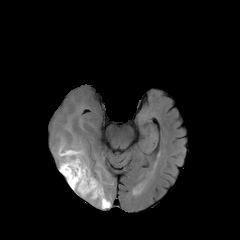
FLAIR MR.
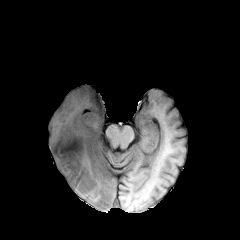
T1-weighted MR of the same slice.
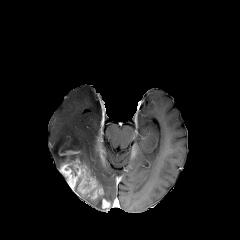
Same slice, post-contrast T1-weighted magnetic resonance.
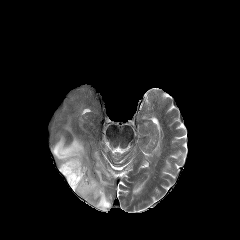
T2-weighted MR.
Axial view
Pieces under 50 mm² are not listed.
Annotated regions:
• necrotic tumor core: <box>60,145,76,152</box>
• enhancing tumor: <box>102,199,110,209</box>, <box>58,142,103,199</box>
• peritumoral edema: <box>52,116,113,209</box>